Head; Slice index 92
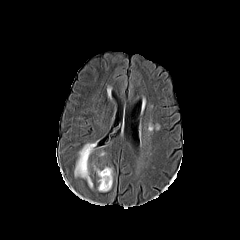
FLAIR MRI.
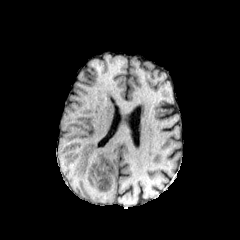
T1-weighted MRI.
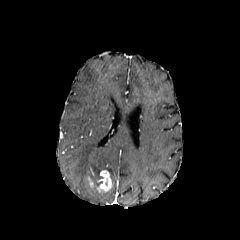
Post-contrast T1-weighted magnetic resonance.
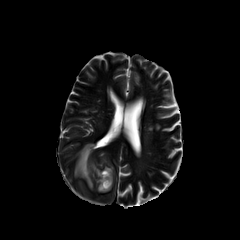
T2-weighted MR image.
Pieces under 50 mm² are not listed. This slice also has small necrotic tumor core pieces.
peritumoral edema = [74, 143, 101, 183], [103, 167, 112, 183]
enhancing tumor = [97, 170, 111, 191]